FLAIR MR.
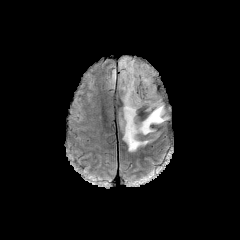
T1-weighted MR image.
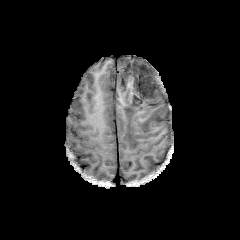
Post-contrast T1-weighted MR image.
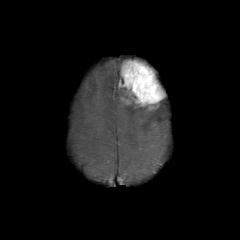
T2-weighted MR image.
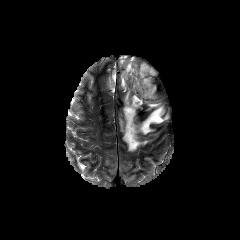
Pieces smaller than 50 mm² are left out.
{
  "peritumoral_edema": [
    "(left=109, top=70, right=115, bottom=84)",
    "(left=123, top=101, right=169, bottom=151)"
  ],
  "enhancing_tumor": [
    "(left=118, top=59, right=164, bottom=109)"
  ]
}